Slice 70 of 155, Brain
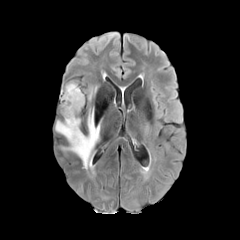
FLAIR MR image.
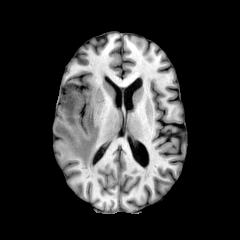
T1-weighted MRI.
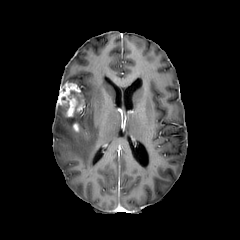
Post-contrast T1-weighted magnetic resonance.
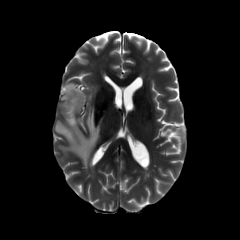
T2-weighted MRI of the same slice.
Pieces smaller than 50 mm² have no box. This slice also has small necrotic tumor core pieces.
- enhancing tumor: 58, 83, 80, 116
- peritumoral edema: 74, 92, 84, 105; 55, 108, 100, 173; 87, 88, 92, 101